Slice 110 of 155. Image width 240 mm, 1.00 mm slice spacing. Image size 240x240. Brain.
FLAIR MRI.
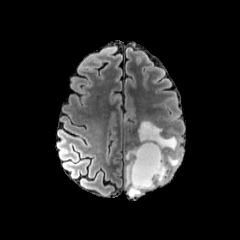
T1-weighted MRI.
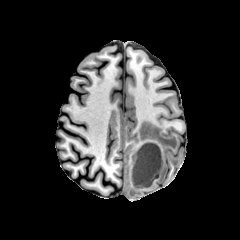
Post-contrast T1-weighted MR.
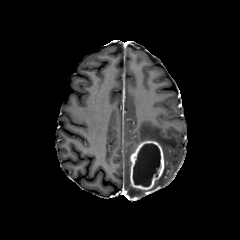
T2-weighted magnetic resonance.
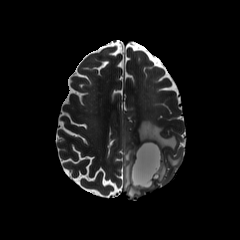
necrotic tumor core at (133, 143, 160, 186)
enhancing tumor at (130, 140, 164, 192)
peritumoral edema at (125, 146, 144, 197), (137, 121, 181, 189)